FLAIR MR.
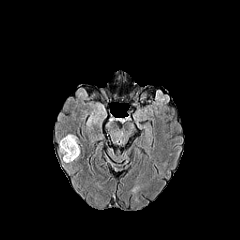
T1-weighted magnetic resonance.
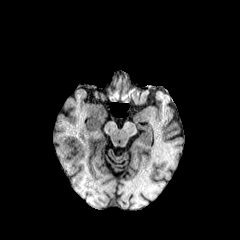
Post-contrast T1-weighted MRI.
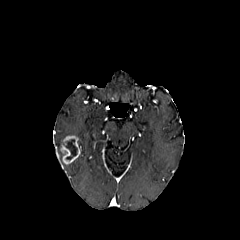
T2-weighted magnetic resonance.
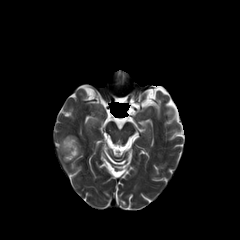
Brain. 240x240 px.
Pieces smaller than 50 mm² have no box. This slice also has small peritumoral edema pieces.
Findings:
- necrotic tumor core: <bbox>65, 139, 77, 159</bbox>
- enhancing tumor: <bbox>60, 135, 80, 164</bbox>